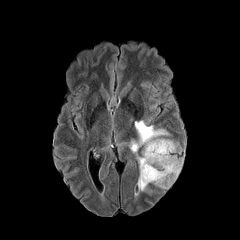
FLAIR magnetic resonance.
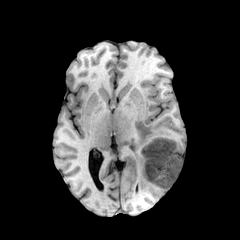
T1-weighted magnetic resonance of the same slice.
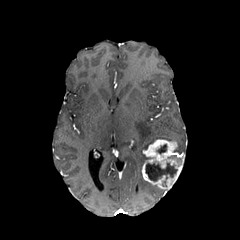
Post-contrast T1-weighted MR image.
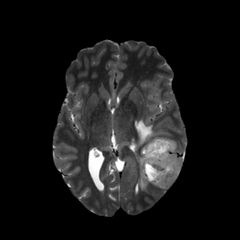
Same slice, T2-weighted magnetic resonance.
240x240 px. Brain.
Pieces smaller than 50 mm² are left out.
The enhancing tumor appears at rect(142, 139, 183, 189). The largest peritumoral edema region lies within rect(131, 120, 168, 192). The 2 largest necrotic tumor core regions appear at rect(157, 144, 166, 153); rect(145, 163, 176, 181).